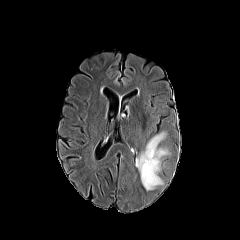
FLAIR MR image.
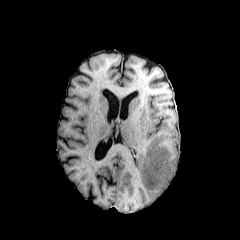
T1-weighted magnetic resonance.
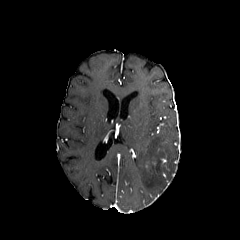
Post-contrast T1-weighted MR image.
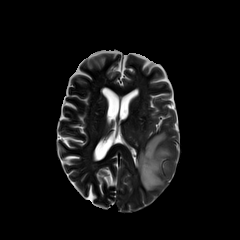
T2-weighted MRI.
240x240 px
The peritumoral edema lies within l=135, t=132, r=170, b=190.